Axial plane; Head
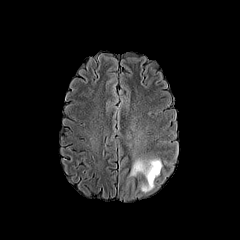
FLAIR MR image.
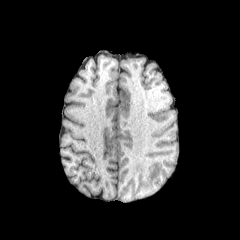
Same slice, T1-weighted MR.
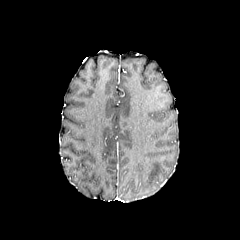
Post-contrast T1-weighted MR.
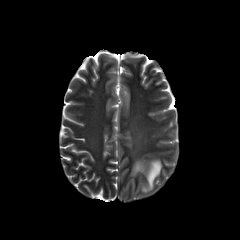
T2-weighted MRI of the same slice.
peritumoral edema = l=130, t=160, r=162, b=191